FLAIR MR.
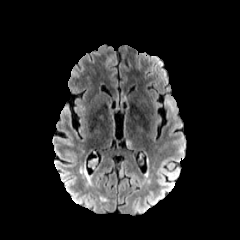
T1-weighted MR.
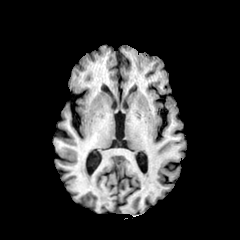
Post-contrast T1-weighted MR.
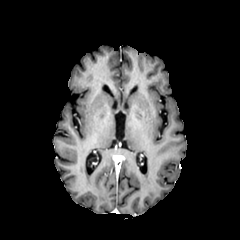
T2-weighted MR image.
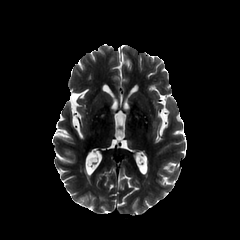
Brain
peritumoral edema at <bbox>167, 101, 176, 113</bbox>